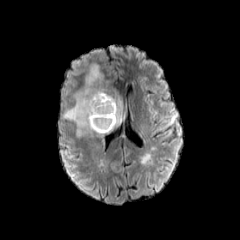
FLAIR magnetic resonance.
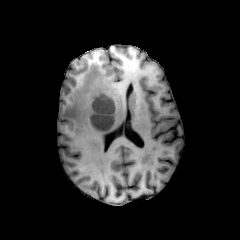
T1-weighted MR image.
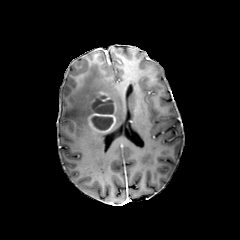
Same slice, post-contrast T1-weighted MR image.
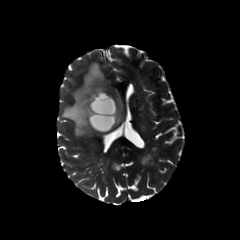
Same slice, T2-weighted magnetic resonance.
• necrotic tumor core: (x1=91, y1=116, x2=113, y2=130), (x1=91, y1=96, x2=113, y2=114)
• peritumoral edema: (x1=63, y1=63, x2=123, y2=135)
• enhancing tumor: (x1=88, y1=92, x2=115, y2=133)